Image width 240 mm. Brain.
FLAIR MRI.
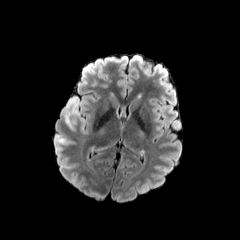
T1-weighted MRI.
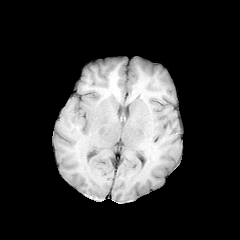
Post-contrast T1-weighted magnetic resonance.
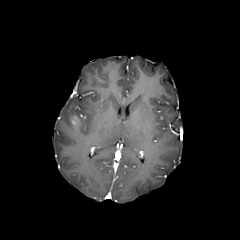
T2-weighted MRI.
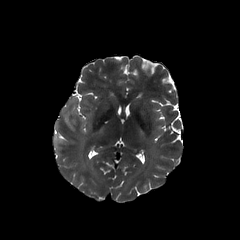
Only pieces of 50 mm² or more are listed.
The enhancing tumor lies within bbox=[70, 115, 79, 128]. The largest peritumoral edema region lies within bbox=[65, 112, 74, 129].